FLAIR MRI.
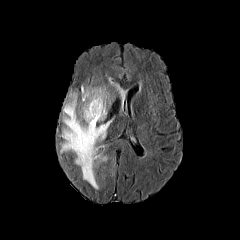
T1-weighted MR image.
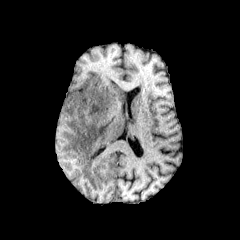
Post-contrast T1-weighted magnetic resonance.
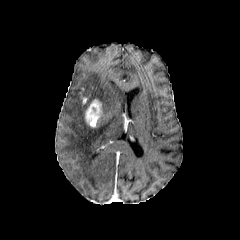
T2-weighted magnetic resonance.
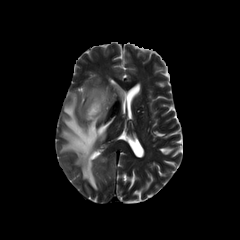
Brain
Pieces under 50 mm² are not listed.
enhancing tumor: x1=85, y1=99, x2=103, y2=127 | peritumoral edema: x1=108, y1=77, x2=126, y2=108; x1=60, y1=85, x2=114, y2=189